Head
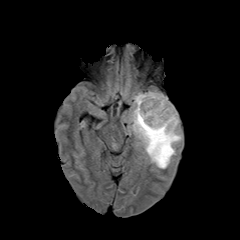
FLAIR magnetic resonance.
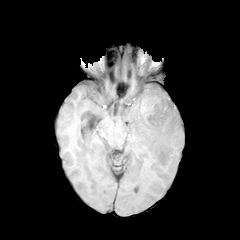
T1-weighted MR image.
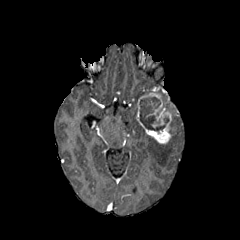
Post-contrast T1-weighted MRI.
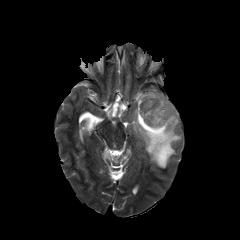
T2-weighted magnetic resonance.
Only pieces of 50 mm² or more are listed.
peritumoral edema: 133:90:150:106, 130:106:182:168
enhancing tumor: 136:89:178:144
necrotic tumor core: 139:97:169:132, 163:103:175:119